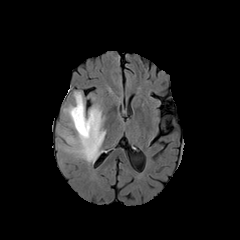
FLAIR magnetic resonance.
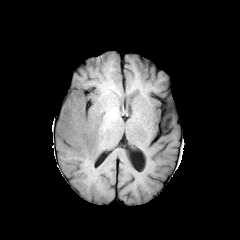
T1-weighted MR.
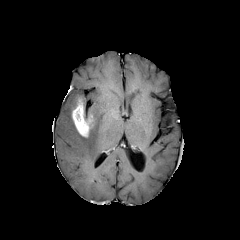
Post-contrast T1-weighted MRI of the same slice.
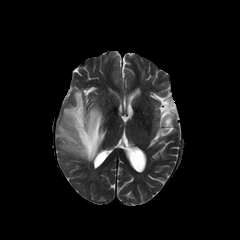
Same slice, T2-weighted MR image.
240x240; Axial plane
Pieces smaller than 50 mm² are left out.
The enhancing tumor is located at left=71, top=96, right=94, bottom=137. The largest peritumoral edema region is bounded by left=57, top=91, right=105, bottom=162.